FLAIR MRI.
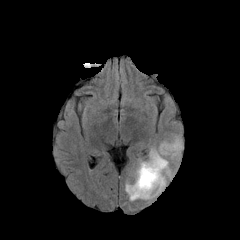
T1-weighted MRI.
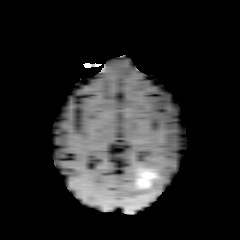
Post-contrast T1-weighted MRI.
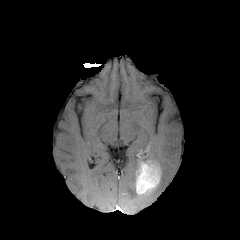
T2-weighted MRI.
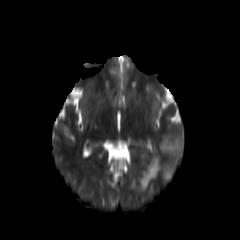
Axial view. Head. 240x240.
The peritumoral edema is at box(125, 134, 183, 200). The enhancing tumor is bounded by box(136, 160, 161, 194).